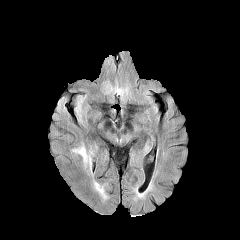
FLAIR MR.
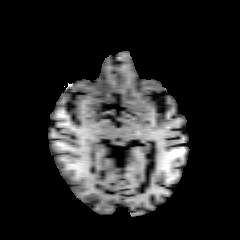
Same slice, T1-weighted MRI.
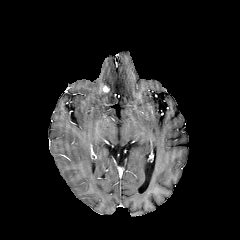
Post-contrast T1-weighted MR image.
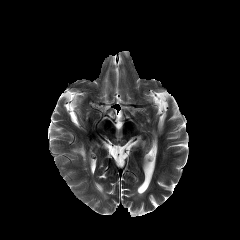
Same slice, T2-weighted MR image.
Brain
{"peritumoral_edema": ["box=[72, 143, 91, 169]"]}